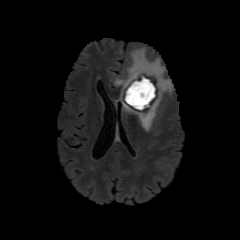
FLAIR MRI.
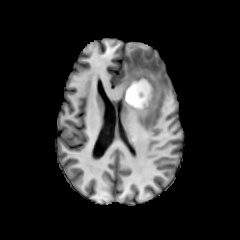
T1-weighted MRI of the same slice.
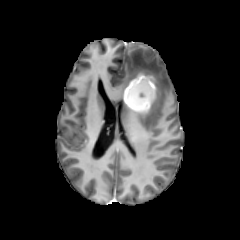
Same slice, post-contrast T1-weighted MR.
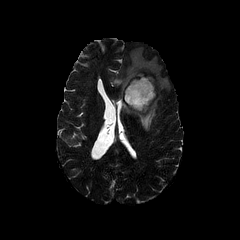
T2-weighted magnetic resonance.
Axial view, 240x240
The enhancing tumor is at x1=122, y1=71, x2=157, y2=113. The necrotic tumor core is located at x1=125, y1=78, x2=151, y2=108. The peritumoral edema appears at x1=114, y1=48, x2=172, y2=131.